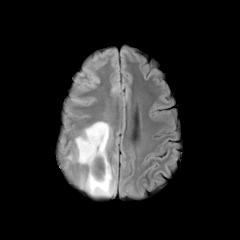
FLAIR MR image.
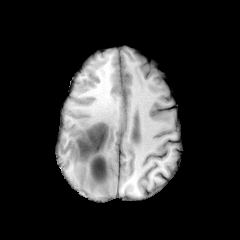
Same slice, T1-weighted MR.
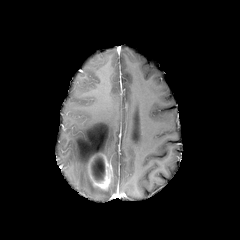
Post-contrast T1-weighted MR.
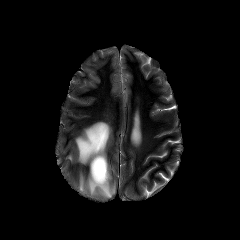
T2-weighted MR of the same slice.
Brain
2 peritumoral edema regions appear at (x1=68, y1=121, x2=111, y2=168), (x1=79, y1=166, x2=115, y2=196). The necrotic tumor core is located at (x1=92, y1=156, x2=104, y2=181). The enhancing tumor is located at (x1=89, y1=153, x2=112, y2=189).